Image size 240x240. Image width 240 mm, 1.00 mm slice spacing.
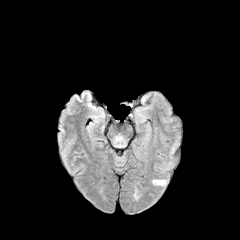
FLAIR magnetic resonance.
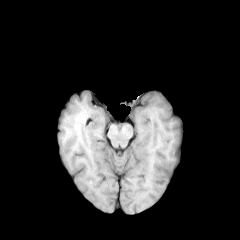
T1-weighted MR.
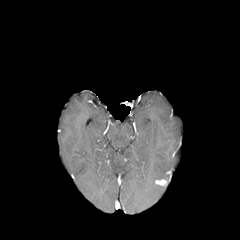
Post-contrast T1-weighted MRI.
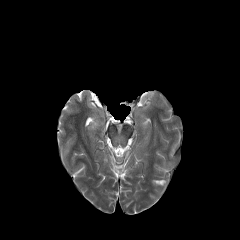
T2-weighted magnetic resonance.
{
  "enhancing_tumor": [
    "bbox=[152, 179, 167, 186]"
  ]
}